FLAIR MR image.
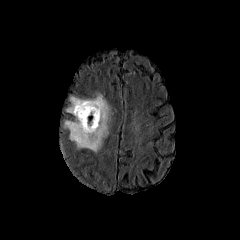
T1-weighted MR image.
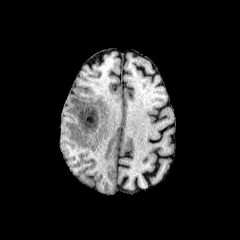
Post-contrast T1-weighted MR.
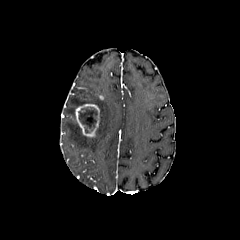
T2-weighted magnetic resonance.
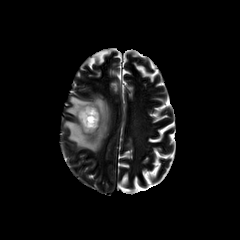
Brain; Axial slice; 240x240
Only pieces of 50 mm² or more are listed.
Annotated regions:
• necrotic tumor core: x1=79, y1=107, x2=97, y2=132
• peritumoral edema: x1=64, y1=93, x2=110, y2=152
• enhancing tumor: x1=75, y1=104, x2=99, y2=137